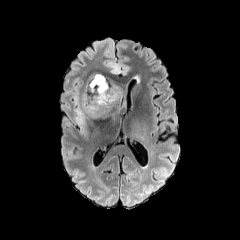
FLAIR MR image.
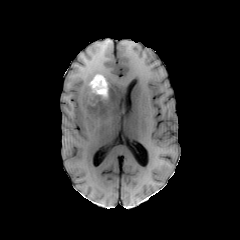
T1-weighted MR of the same slice.
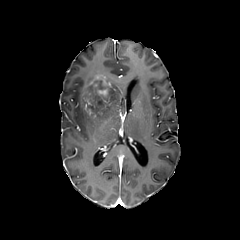
Post-contrast T1-weighted MR image of the same slice.
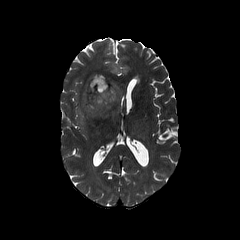
T2-weighted magnetic resonance.
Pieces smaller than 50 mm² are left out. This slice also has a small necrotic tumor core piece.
<segmentation>
  <enhancing_tumor>bbox=[84, 75, 110, 100]</enhancing_tumor>
  <peritumoral_edema>bbox=[74, 71, 121, 133]</peritumoral_edema>
</segmentation>